Brain, Slice 94/155
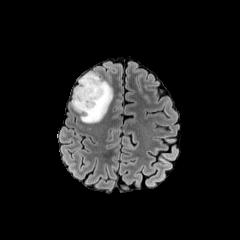
FLAIR MRI.
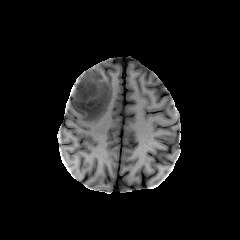
T1-weighted MR.
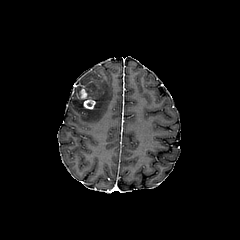
Post-contrast T1-weighted magnetic resonance.
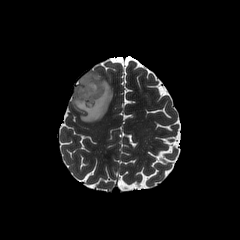
Same slice, T2-weighted MRI.
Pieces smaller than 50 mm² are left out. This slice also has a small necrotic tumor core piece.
Segmented structures:
• enhancing tumor: {"x1": 79, "y1": 86, "x2": 95, "y2": 109}
• peritumoral edema: {"x1": 71, "y1": 72, "x2": 112, "y2": 123}